Head | Image size 240x240 | Axial plane
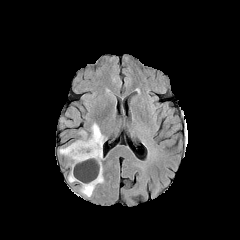
FLAIR MR.
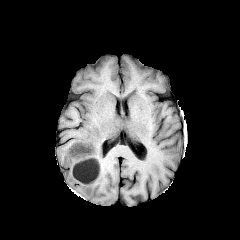
T1-weighted magnetic resonance of the same slice.
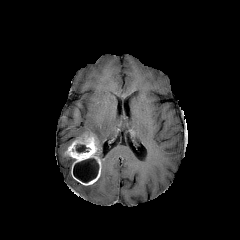
Same slice, post-contrast T1-weighted MRI.
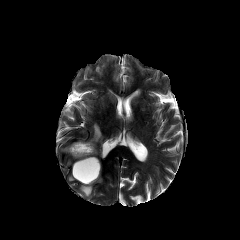
Same slice, T2-weighted MR image.
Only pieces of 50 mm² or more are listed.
The 2 largest peritumoral edema regions appear at <bbox>80, 168, 103, 197</bbox>, <bbox>91, 123, 104, 159</bbox>. The enhancing tumor is bounded by <bbox>65, 134, 101, 185</bbox>. 2 necrotic tumor core regions appear at <bbox>73, 158, 99, 182</bbox>, <bbox>76, 144, 89, 152</bbox>.